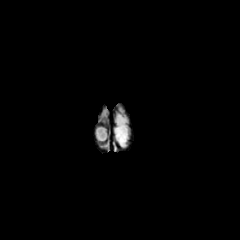
FLAIR MR image.
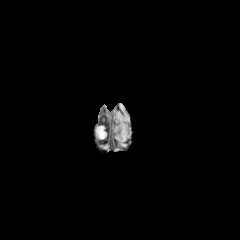
T1-weighted MR.
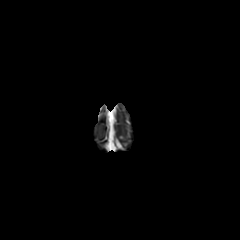
Same slice, post-contrast T1-weighted magnetic resonance.
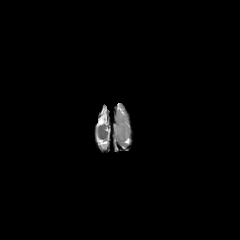
T2-weighted MR.
Brain; Axial plane
peritumoral edema: x1=116 y1=116 x2=126 y2=141